Axial slice
FLAIR MR image.
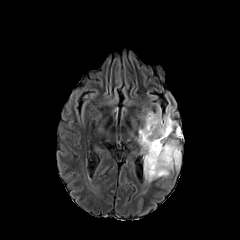
T1-weighted MR image.
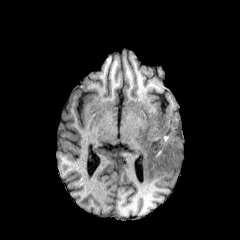
Post-contrast T1-weighted magnetic resonance.
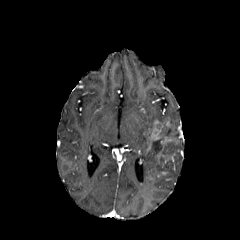
T2-weighted MRI.
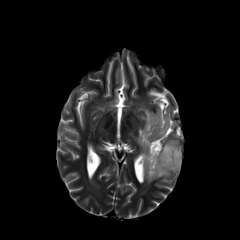
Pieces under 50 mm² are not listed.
peritumoral edema: bounding box <bbox>137, 105, 178, 182</bbox>, <bbox>159, 142, 180, 177</bbox>
enhancing tumor: bounding box <bbox>148, 119, 164, 141</bbox>, <bbox>157, 137, 177, 160</bbox>
necrotic tumor core: bounding box <bbox>145, 120, 179, 178</bbox>